FLAIR MR image.
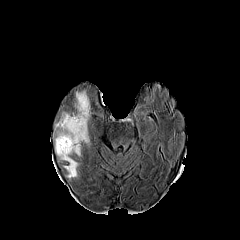
T1-weighted MR.
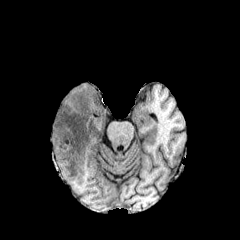
Post-contrast T1-weighted MRI.
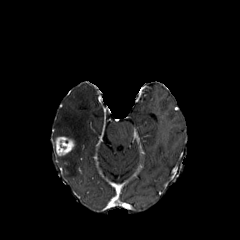
T2-weighted MR.
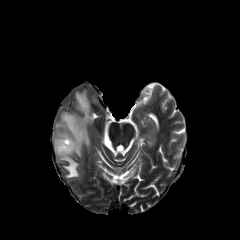
Axial slice.
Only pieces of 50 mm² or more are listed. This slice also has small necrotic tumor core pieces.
enhancing tumor: [x1=55, y1=137, x2=74, y2=155] | peritumoral edema: [x1=55, y1=90, x2=90, y2=177]